FLAIR MR.
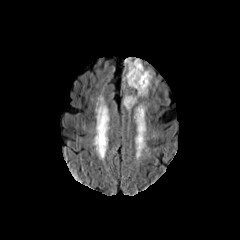
T1-weighted MR.
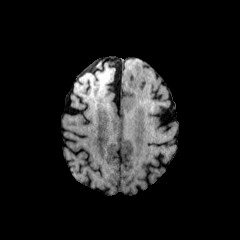
Post-contrast T1-weighted MR.
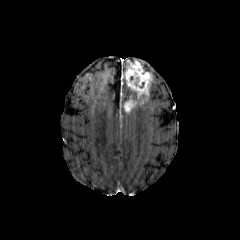
T2-weighted MR image.
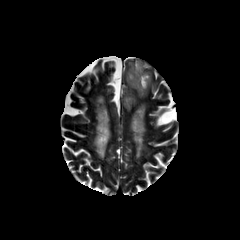
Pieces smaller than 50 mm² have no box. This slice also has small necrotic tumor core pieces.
{
  "enhancing_tumor": [
    "(x1=124, y1=60, x2=151, y2=97)",
    "(x1=124, y1=96, x2=136, y2=111)"
  ],
  "peritumoral_edema": [
    "(x1=123, y1=86, x2=148, y2=104)"
  ]
}